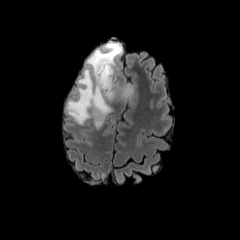
FLAIR MR.
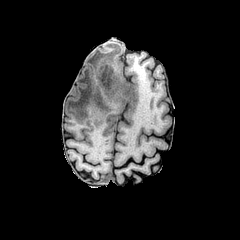
Same slice, T1-weighted MRI.
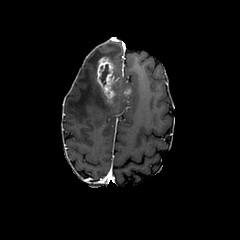
Post-contrast T1-weighted MRI of the same slice.
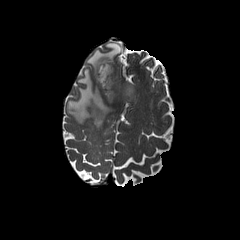
T2-weighted MR of the same slice.
Brain; Axial view; 240x240 px
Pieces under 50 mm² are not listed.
necrotic tumor core at 100,64,111,87
enhancing tumor at 96,57,116,101; 123,88,131,95
peritumoral edema at 67,41,133,128